FLAIR MRI.
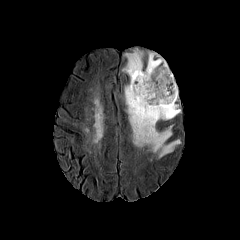
T1-weighted MR image.
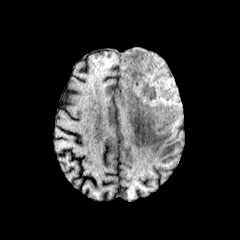
Post-contrast T1-weighted MRI.
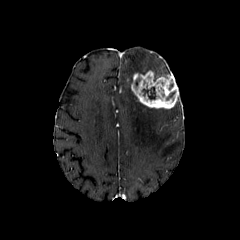
T2-weighted MR.
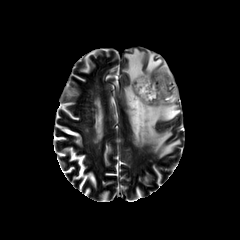
Axial view.
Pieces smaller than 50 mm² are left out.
enhancing tumor = box=[131, 70, 178, 109]
necrotic tumor core = box=[142, 87, 155, 99]
peritumoral edema = box=[122, 49, 180, 157]